Image width 240 mm, 1.00 mm slice spacing | Head | Axial slice
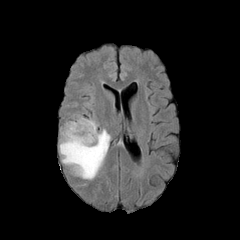
FLAIR magnetic resonance.
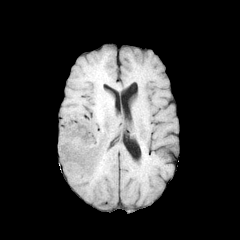
T1-weighted MR image of the same slice.
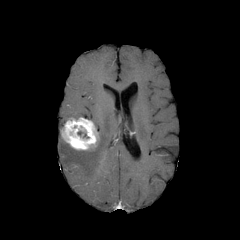
Post-contrast T1-weighted MR of the same slice.
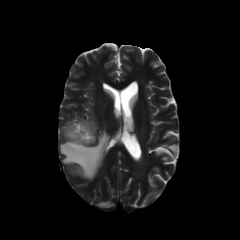
T2-weighted MR image.
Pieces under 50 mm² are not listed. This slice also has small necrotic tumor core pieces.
{"peritumoral_edema": ["<bbox>59, 129, 110, 180</bbox>"], "enhancing_tumor": ["<bbox>61, 117, 98, 150</bbox>"]}